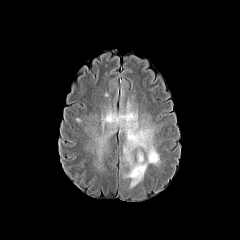
FLAIR MRI.
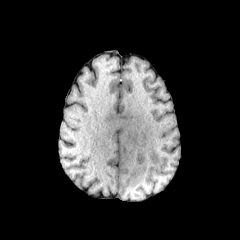
T1-weighted MR image of the same slice.
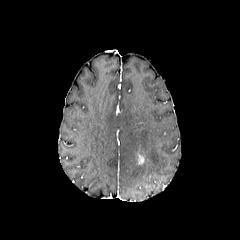
Post-contrast T1-weighted magnetic resonance.
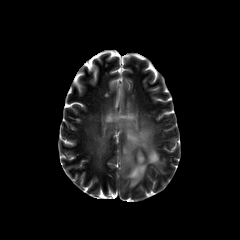
T2-weighted MRI.
Axial plane; Head
The peritumoral edema is at <bbox>80, 78, 162, 189</bbox>. The enhancing tumor is bounded by <bbox>135, 150, 146, 164</bbox>.